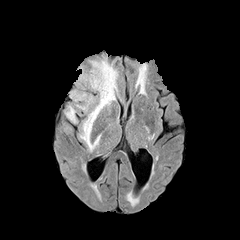
FLAIR MRI.
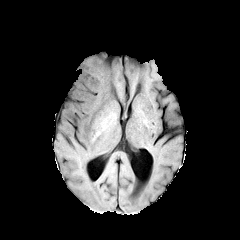
Same slice, T1-weighted MR image.
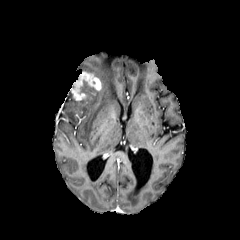
Post-contrast T1-weighted MR.
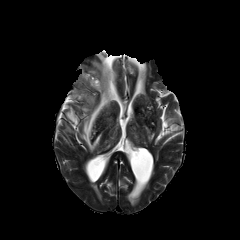
T2-weighted MR.
Brain, Axial view
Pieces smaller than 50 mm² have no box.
enhancing tumor: region(71, 71, 101, 100)
peritumoral edema: region(81, 82, 96, 94); region(84, 95, 95, 104); region(65, 106, 77, 123); region(80, 58, 117, 151)